Head. Slice 81 of 155. Image covers 240 mm x 240 mm.
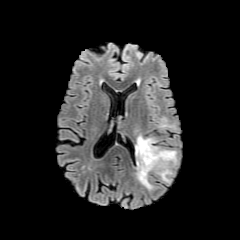
FLAIR magnetic resonance.
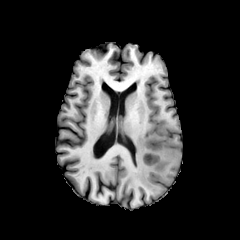
T1-weighted magnetic resonance.
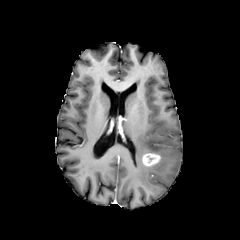
Post-contrast T1-weighted MRI of the same slice.
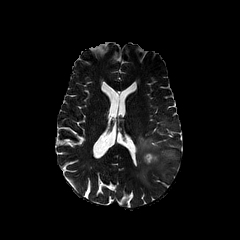
T2-weighted MR.
Segmented structures:
* enhancing tumor: (142, 153, 160, 166)
* peritumoral edema: (135, 135, 176, 189)